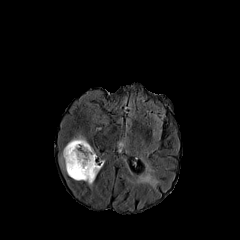
FLAIR MR.
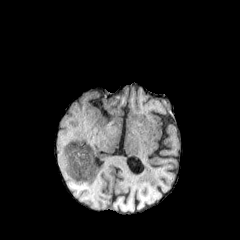
T1-weighted MR.
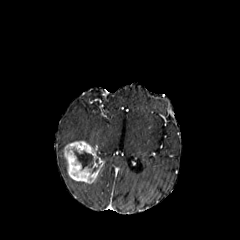
Post-contrast T1-weighted MR.
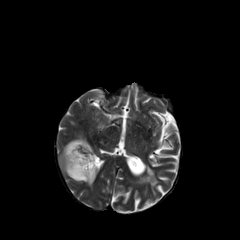
T2-weighted MR.
Brain, Axial plane
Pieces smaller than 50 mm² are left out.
- peritumoral edema: (left=69, top=135, right=86, bottom=142), (left=60, top=149, right=66, bottom=171)
- necrotic tumor core: (left=74, top=151, right=93, bottom=169)
- enhancing tumor: (left=64, top=141, right=104, bottom=183)